FLAIR MR image.
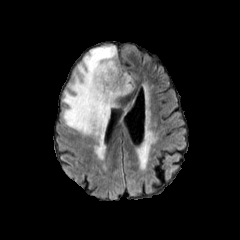
T1-weighted MR image.
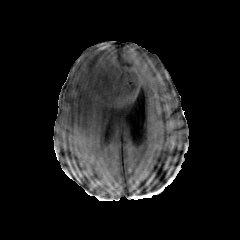
Post-contrast T1-weighted MR.
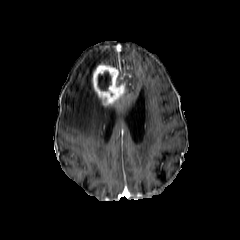
T2-weighted MRI.
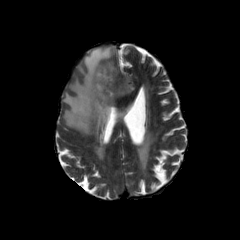
Axial view. 240x240 px.
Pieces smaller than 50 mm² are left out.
Segmented structures:
- necrotic tumor core: left=98, top=72, right=110, bottom=90
- peritumoral edema: left=62, top=45, right=135, bottom=136
- enhancing tumor: left=91, top=61, right=131, bottom=107